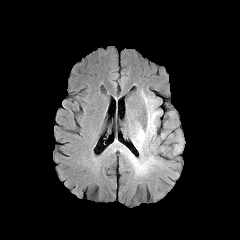
FLAIR magnetic resonance.
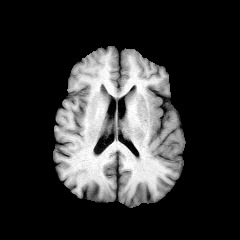
T1-weighted MR of the same slice.
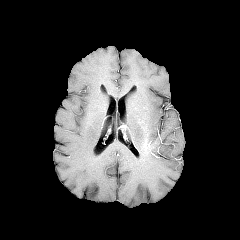
Same slice, post-contrast T1-weighted magnetic resonance.
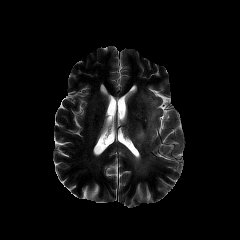
T2-weighted magnetic resonance of the same slice.
Head
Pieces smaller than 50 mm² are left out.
Findings:
• peritumoral edema: 129,94,160,173